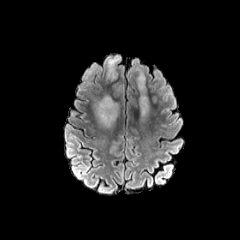
FLAIR MRI.
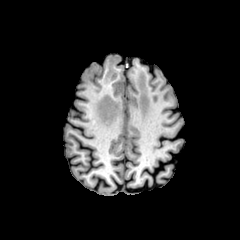
T1-weighted MR image of the same slice.
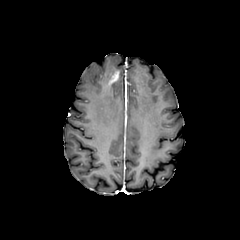
Same slice, post-contrast T1-weighted MR image.
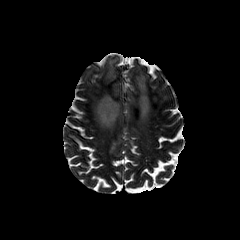
Same slice, T2-weighted MR image.
Head. Axial view. 240x240 px.
The enhancing tumor appears at (left=110, top=71, right=118, bottom=82). 3 peritumoral edema regions are located at (left=96, top=96, right=118, bottom=129), (left=106, top=56, right=120, bottom=78), (left=137, top=68, right=148, bottom=117).